Axial view; Slice 76 of 155
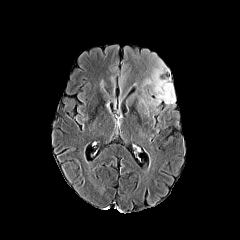
FLAIR MR.
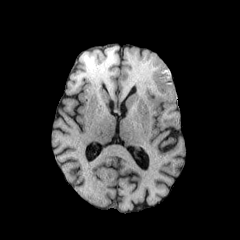
Same slice, T1-weighted MR image.
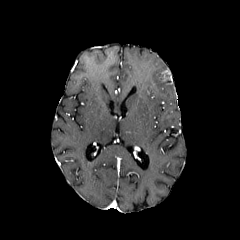
Post-contrast T1-weighted MR.
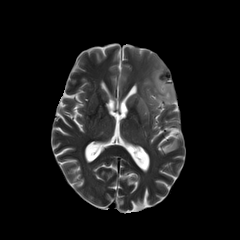
T2-weighted magnetic resonance.
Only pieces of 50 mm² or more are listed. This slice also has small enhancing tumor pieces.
The largest peritumoral edema region is at box=[143, 53, 175, 110].